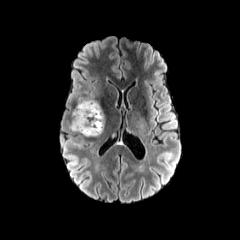
FLAIR magnetic resonance.
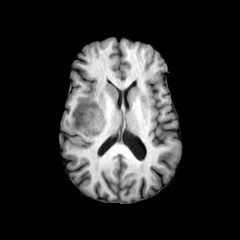
T1-weighted MR of the same slice.
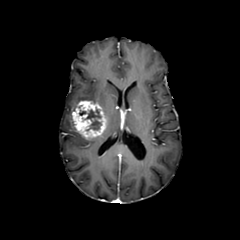
Same slice, post-contrast T1-weighted magnetic resonance.
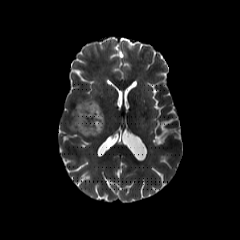
T2-weighted MRI.
Axial slice. Head.
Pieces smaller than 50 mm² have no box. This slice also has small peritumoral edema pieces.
<segmentation>
  <enhancing_tumor>x1=72 y1=101 x2=106 y2=141</enhancing_tumor>
  <necrotic_tumor_core>x1=86 y1=107 x2=101 y2=130</necrotic_tumor_core>
</segmentation>